Axial plane, 240x240 px
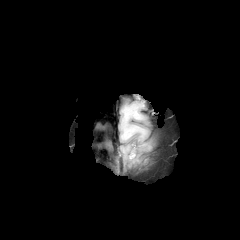
FLAIR MR image.
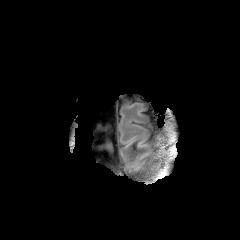
T1-weighted MR of the same slice.
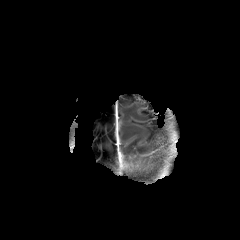
Post-contrast T1-weighted MR.
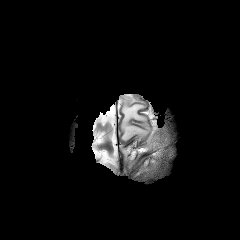
T2-weighted MR.
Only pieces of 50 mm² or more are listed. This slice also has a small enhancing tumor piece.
peritumoral edema: (left=121, top=104, right=147, bottom=140), (left=123, top=147, right=136, bottom=155)